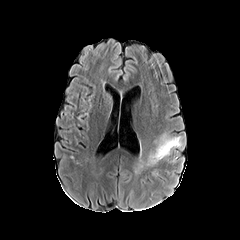
FLAIR MRI.
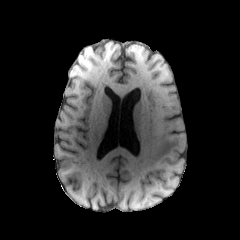
T1-weighted magnetic resonance.
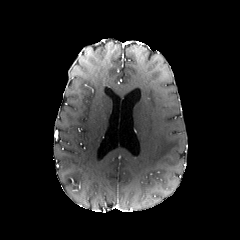
Post-contrast T1-weighted magnetic resonance.
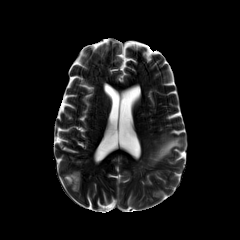
T2-weighted MRI.
Brain.
The peritumoral edema is at <box>147,133,182,165</box>.